FLAIR MR.
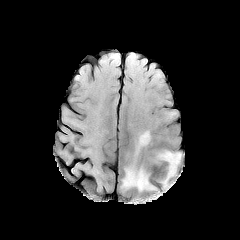
T1-weighted MR image.
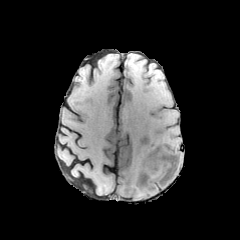
Post-contrast T1-weighted MRI.
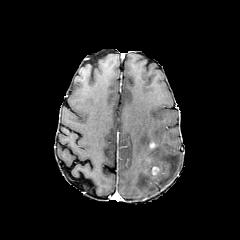
T2-weighted MR image.
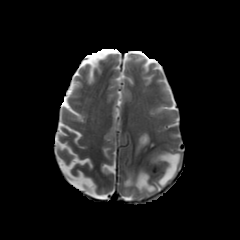
Brain.
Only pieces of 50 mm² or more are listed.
peritumoral edema — rect(148, 151, 181, 186); rect(123, 132, 155, 191)
enhancing tumor — rect(160, 167, 168, 178); rect(148, 141, 155, 149); rect(151, 166, 159, 175)